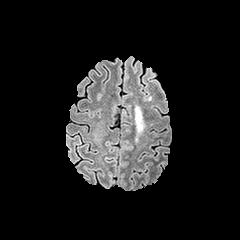
FLAIR MRI.
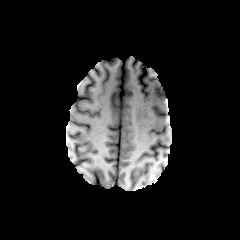
T1-weighted MRI.
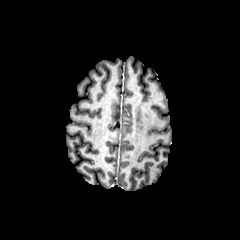
Post-contrast T1-weighted MR image.
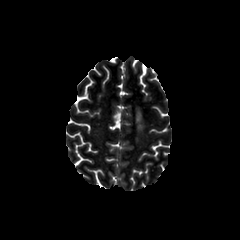
Same slice, T2-weighted MR image.
Axial plane, Head
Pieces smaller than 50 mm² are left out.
peritumoral edema = (135, 107, 143, 130)